FLAIR magnetic resonance.
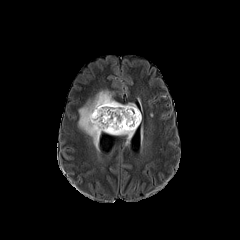
T1-weighted MR image.
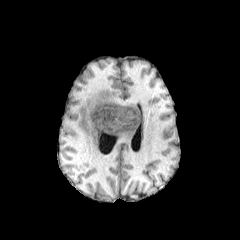
Post-contrast T1-weighted MR.
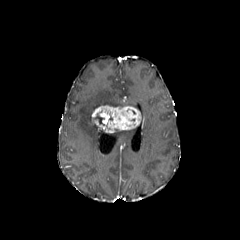
T2-weighted MR.
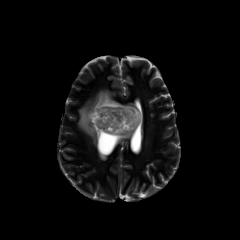
Image size 240x240, Brain
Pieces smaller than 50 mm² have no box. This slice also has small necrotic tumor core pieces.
enhancing tumor: (91, 105, 141, 133)
peritumoral edema: (78, 90, 136, 148), (111, 128, 136, 139)